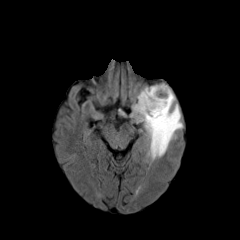
FLAIR MRI.
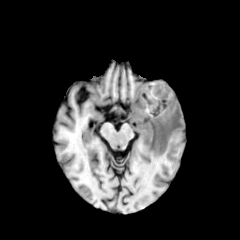
T1-weighted MR of the same slice.
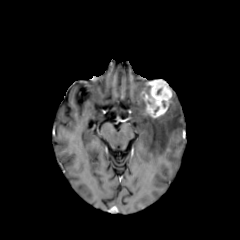
Post-contrast T1-weighted magnetic resonance of the same slice.
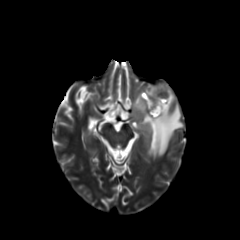
T2-weighted MR image.
240x240 px. Head. Axial view.
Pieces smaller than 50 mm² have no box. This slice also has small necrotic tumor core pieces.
enhancing tumor — (140, 80, 172, 118)
peritumoral edema — (132, 82, 181, 156)